Brain
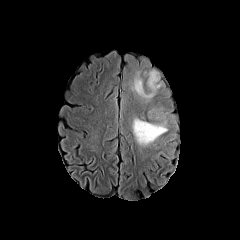
FLAIR MR.
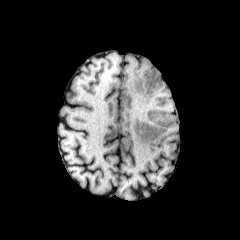
Same slice, T1-weighted MR.
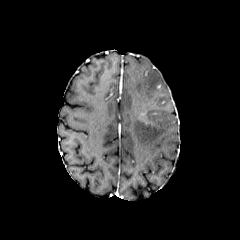
Same slice, post-contrast T1-weighted MR.
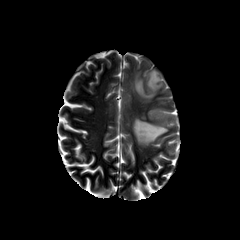
T2-weighted magnetic resonance.
Annotated regions:
• peritumoral edema: [x1=131, y1=70, x2=161, y2=99], [x1=132, y1=118, x2=167, y2=146]